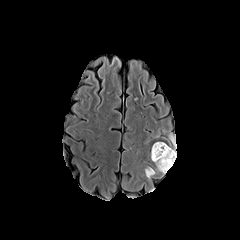
FLAIR MRI.
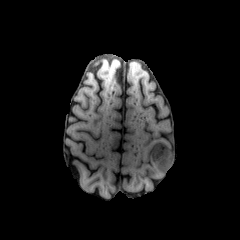
T1-weighted MR image.
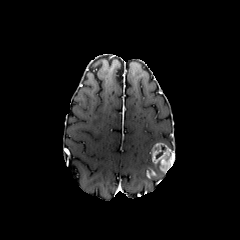
Post-contrast T1-weighted MR image.
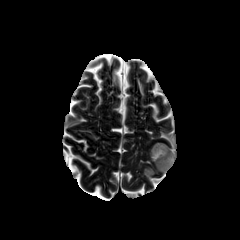
T2-weighted MRI.
Brain
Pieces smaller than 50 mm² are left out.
necrotic_tumor_core:
  - [156, 145, 165, 158]
enhancing_tumor:
  - [152, 142, 174, 173]
  - [146, 168, 155, 178]
peritumoral_edema:
  - [168, 133, 176, 146]